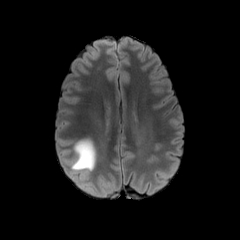
FLAIR MR.
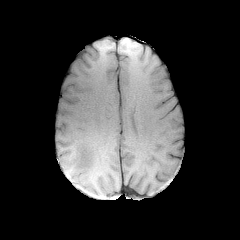
T1-weighted MR image.
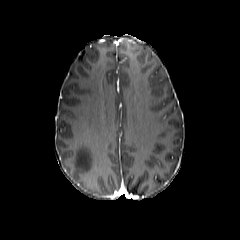
Post-contrast T1-weighted MR image.
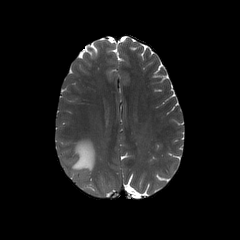
T2-weighted magnetic resonance of the same slice.
Axial slice | 240x240 | Brain
• peritumoral edema: box(70, 138, 96, 171)